Slice 64 of 155 | Image size 240x240
FLAIR magnetic resonance.
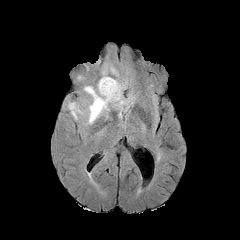
T1-weighted MRI.
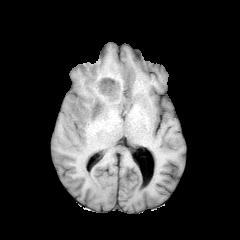
Post-contrast T1-weighted MR.
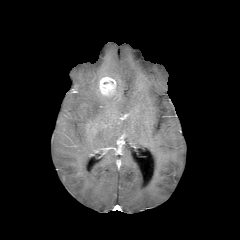
T2-weighted magnetic resonance.
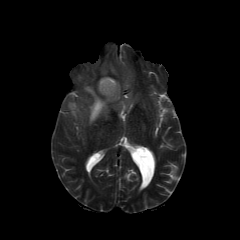
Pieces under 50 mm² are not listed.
enhancing tumor: (99,77,116,96) | peritumoral edema: (84,82,120,123), (69,102,79,118)